FLAIR MR.
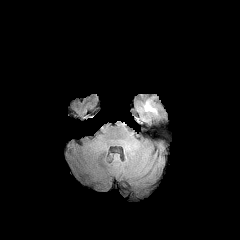
T1-weighted MRI.
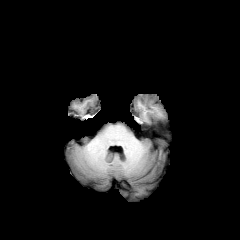
Post-contrast T1-weighted magnetic resonance.
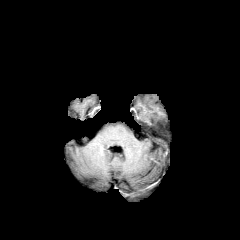
T2-weighted MR image.
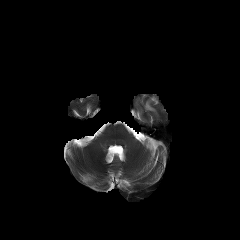
Head
peritumoral_edema:
  - (144,100,156,113)